Image width 240 mm, 240x240
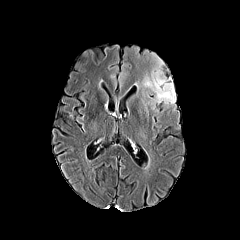
FLAIR magnetic resonance.
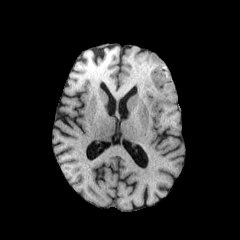
T1-weighted MRI.
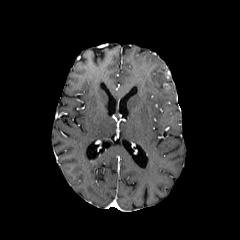
Post-contrast T1-weighted MR image.
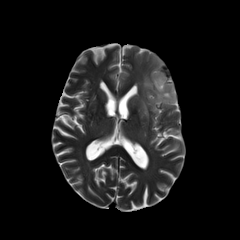
T2-weighted MRI.
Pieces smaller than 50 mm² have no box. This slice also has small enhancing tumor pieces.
peritumoral edema: <box>142,54,175,108</box>